Slice 82/155, Image width 240 mm, 1.00 mm slice spacing, 240x240
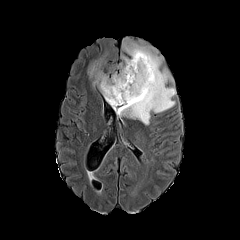
FLAIR MR.
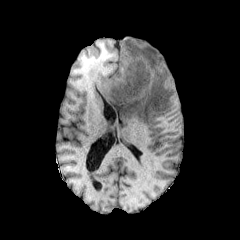
T1-weighted MRI.
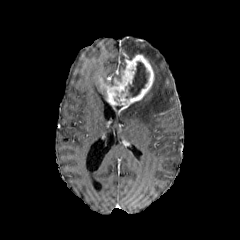
Same slice, post-contrast T1-weighted MR.
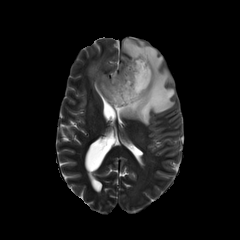
T2-weighted magnetic resonance of the same slice.
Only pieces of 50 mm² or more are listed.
peritumoral edema — rect(87, 52, 125, 97); rect(114, 37, 176, 124)
necrotic tumor core — rect(125, 61, 149, 98)
enhancing tumor — rect(99, 54, 154, 114)